FLAIR MR.
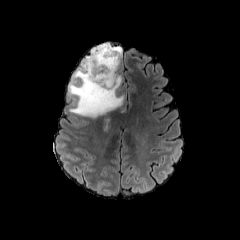
T1-weighted MRI.
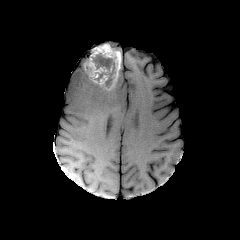
Post-contrast T1-weighted magnetic resonance.
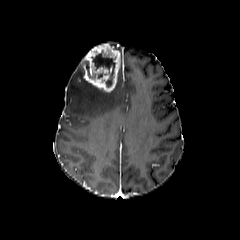
T2-weighted MR image.
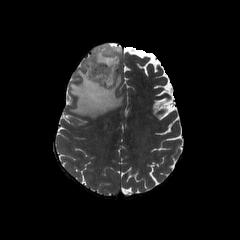
Axial slice; Brain; 240x240 px
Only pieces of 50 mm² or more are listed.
<segmentation>
  <necrotic_tumor_core>86:61:95:80, 91:50:115:86</necrotic_tumor_core>
  <peritumoral_edema>69:64:123:118</peritumoral_edema>
  <enhancing_tumor>81:43:120:92</enhancing_tumor>
</segmentation>